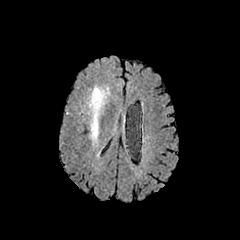
FLAIR MRI.
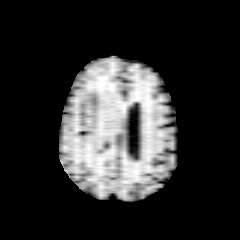
T1-weighted MR.
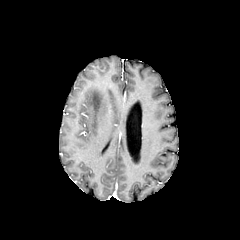
Post-contrast T1-weighted MR.
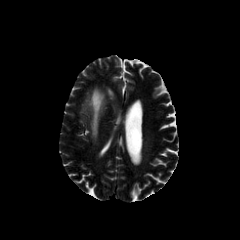
T2-weighted magnetic resonance of the same slice.
Axial view | 240x240 px | Brain
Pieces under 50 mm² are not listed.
<segmentation>
  <peritumoral_edema>{"x1": 86, "y1": 86, "x2": 110, "y2": 146}</peritumoral_edema>
</segmentation>